Slice index 33 | 240x240 px
FLAIR MRI.
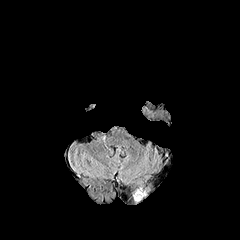
T1-weighted MR image.
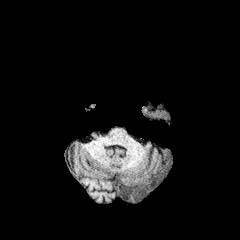
Post-contrast T1-weighted MRI.
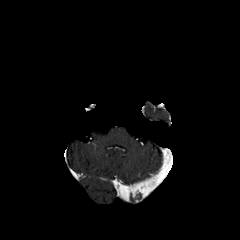
T2-weighted MRI.
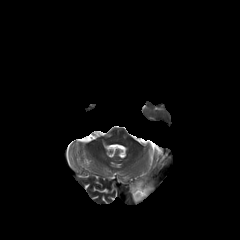
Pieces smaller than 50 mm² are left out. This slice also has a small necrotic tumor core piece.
The largest enhancing tumor region is at 130 177 155 202.